Image size 240x240 | Slice 91 of 155
FLAIR MR.
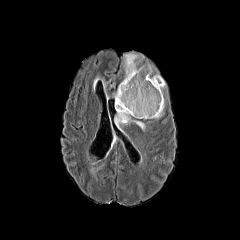
T1-weighted MR image.
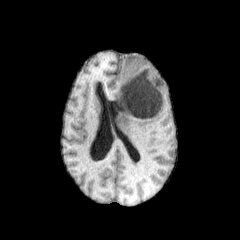
Post-contrast T1-weighted MR.
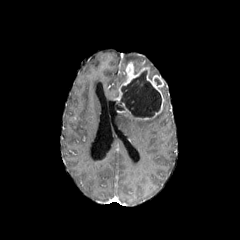
T2-weighted MR image.
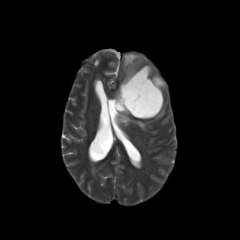
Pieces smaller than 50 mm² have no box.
<segmentation>
  <enhancing_tumor>left=115, top=61, right=164, bottom=119; left=117, top=103, right=131, bottom=114</enhancing_tumor>
  <peritumoral_edema>left=155, top=103, right=164, bottom=119; left=115, top=113, right=145, bottom=129; left=123, top=53, right=140, bottom=69; left=89, top=162, right=104, bottom=181</peritumoral_edema>
  <necrotic_tumor_core>left=116, top=70, right=161, bottom=117</necrotic_tumor_core>
</segmentation>